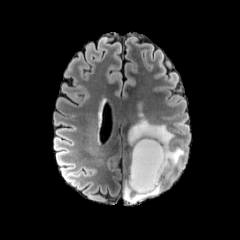
FLAIR MRI.
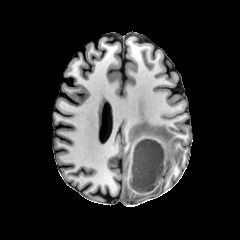
T1-weighted magnetic resonance.
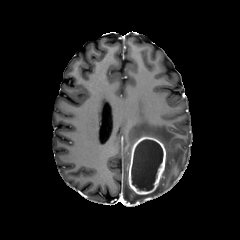
Post-contrast T1-weighted MRI of the same slice.
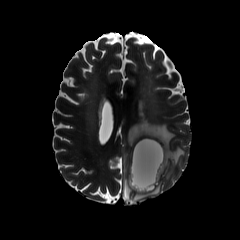
T2-weighted MR image of the same slice.
Axial plane, Head, Image size 240x240
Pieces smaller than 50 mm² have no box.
<segmentation>
  <necrotic_tumor_core>131 139 163 190</necrotic_tumor_core>
  <peritumoral_edema>123 178 162 203, 128 120 185 177</peritumoral_edema>
  <enhancing_tumor>128 136 166 195</enhancing_tumor>
</segmentation>